FLAIR magnetic resonance.
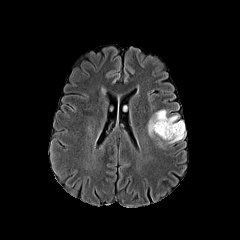
T1-weighted MR.
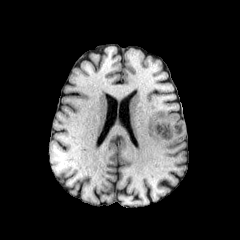
Post-contrast T1-weighted MR image.
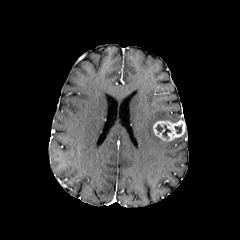
T2-weighted MR image.
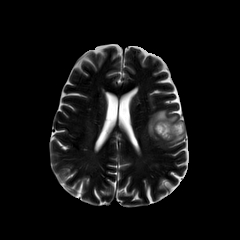
Brain
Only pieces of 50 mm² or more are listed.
{"enhancing_tumor": ["box(153, 120, 185, 141)"], "peritumoral_edema": ["box(165, 132, 185, 144)", "box(148, 110, 178, 137)"], "necrotic_tumor_core": ["box(156, 124, 170, 138)", "box(175, 125, 182, 133)"]}